Slice 72 of 155. 240x240 px. Image covers 240 mm x 240 mm.
FLAIR MR.
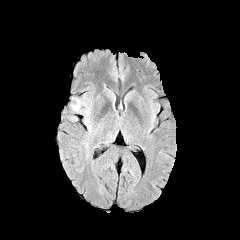
T1-weighted MR image.
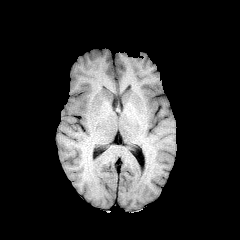
Post-contrast T1-weighted MRI.
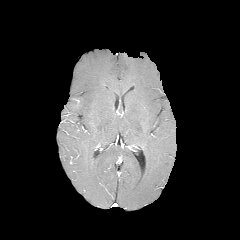
T2-weighted MR.
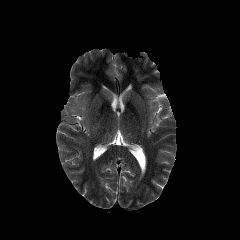
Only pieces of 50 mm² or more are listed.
peritumoral edema: bounding box bbox=[70, 97, 90, 128]